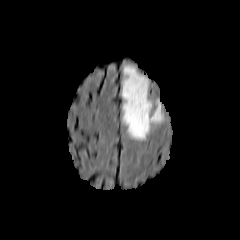
FLAIR MR.
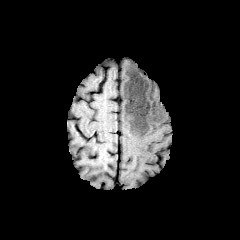
T1-weighted MR.
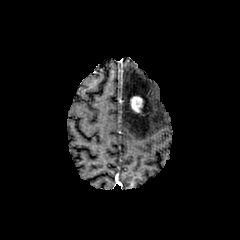
Post-contrast T1-weighted MR of the same slice.
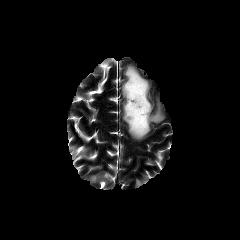
T2-weighted MR image.
Head, Axial slice, 240x240
* peritumoral edema: region(122, 65, 163, 140)
* enhancing tumor: region(130, 96, 144, 114)